Head | Axial slice | 240x240 | Image covers 240 mm x 240 mm
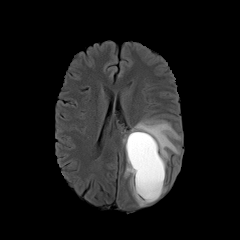
FLAIR MR image.
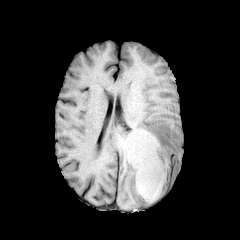
T1-weighted magnetic resonance of the same slice.
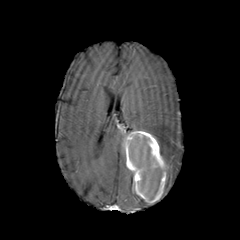
Post-contrast T1-weighted MR image of the same slice.
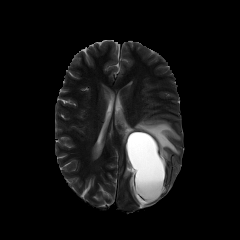
Same slice, T2-weighted MR image.
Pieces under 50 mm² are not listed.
necrotic tumor core = region(129, 135, 162, 198)
peritumoral edema = region(173, 158, 179, 174); region(124, 166, 149, 206); region(122, 119, 181, 171)
enhancing tumor = region(124, 131, 166, 203)